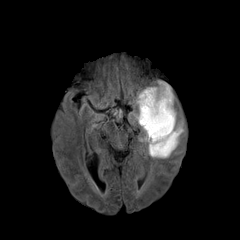
FLAIR MR image.
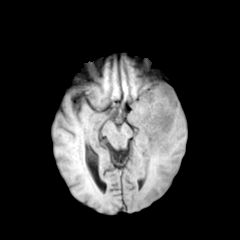
T1-weighted MRI.
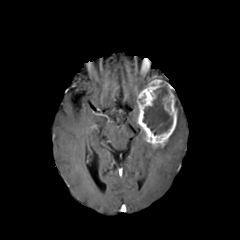
Post-contrast T1-weighted MR image.
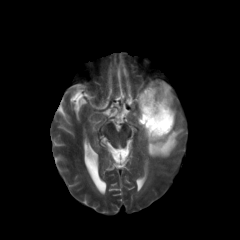
T2-weighted MRI of the same slice.
Axial view
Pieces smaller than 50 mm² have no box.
peritumoral edema = bbox(147, 120, 184, 158); bbox(129, 108, 138, 122)
necrotic tumor core = bbox(143, 85, 172, 135)
enhancing tumor = bbox(137, 79, 177, 147)